240x240; Slice 76 of 155
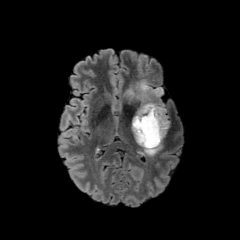
FLAIR MR.
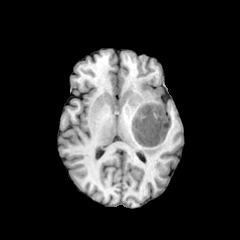
T1-weighted MRI.
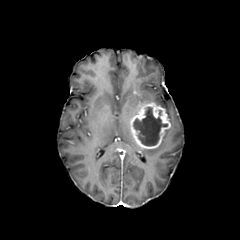
Post-contrast T1-weighted MR.
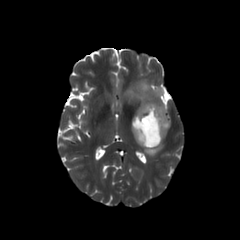
T2-weighted magnetic resonance.
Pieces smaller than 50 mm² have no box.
enhancing_tumor:
  - box=[131, 102, 170, 148]
peritumoral_edema:
  - box=[124, 80, 167, 112]
  - box=[143, 142, 162, 155]
necrotic_tumor_core:
  - box=[133, 107, 167, 145]